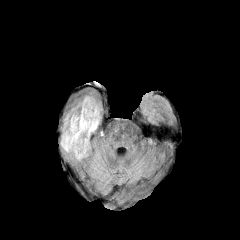
FLAIR MR.
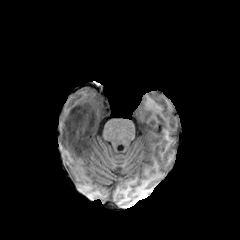
T1-weighted MRI.
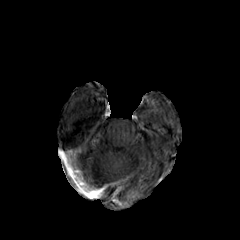
Same slice, post-contrast T1-weighted MR.
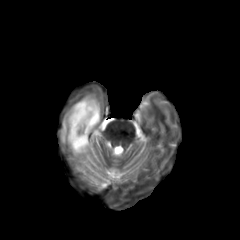
Same slice, T2-weighted MRI.
Axial slice, Brain
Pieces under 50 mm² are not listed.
enhancing_tumor:
  - (77, 139, 87, 154)
peritumoral_edema:
  - (61, 92, 101, 151)
  - (77, 149, 92, 162)
necrotic_tumor_core:
  - (71, 114, 97, 150)